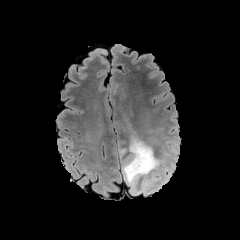
FLAIR MR image.
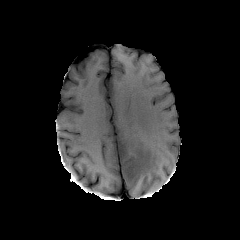
T1-weighted MR.
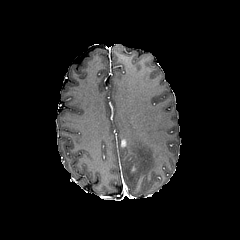
Post-contrast T1-weighted MRI.
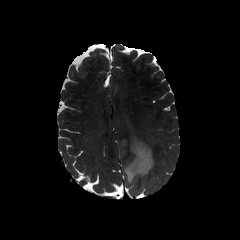
T2-weighted magnetic resonance of the same slice.
Brain.
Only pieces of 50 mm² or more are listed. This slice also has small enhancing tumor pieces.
peritumoral_edema:
  - rect(118, 136, 164, 194)